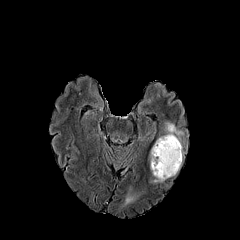
FLAIR magnetic resonance.
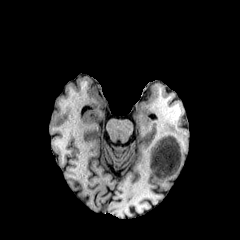
T1-weighted MRI.
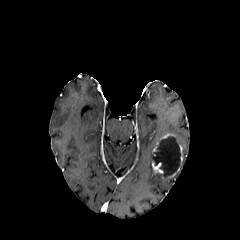
Post-contrast T1-weighted MR image.
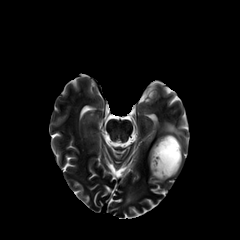
Same slice, T2-weighted MR image.
Axial view
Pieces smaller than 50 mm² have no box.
The 3 largest peritumoral edema regions are located at box=[124, 192, 134, 204]; box=[165, 122, 183, 135]; box=[149, 143, 165, 182]. The necrotic tumor core is at box=[152, 136, 180, 178]. The largest enhancing tumor region is bounded by box=[152, 160, 163, 174].